Slice 62 of 155, Image size 240x240
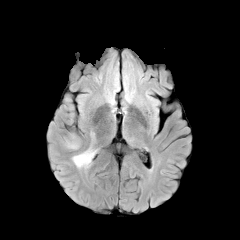
FLAIR magnetic resonance.
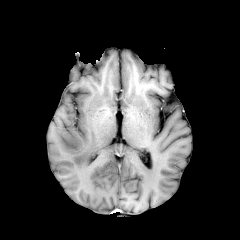
Same slice, T1-weighted MR.
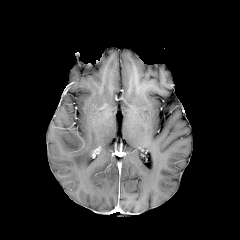
Post-contrast T1-weighted magnetic resonance.
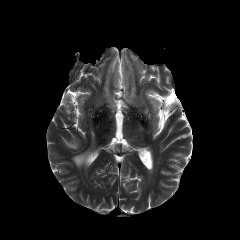
T2-weighted magnetic resonance.
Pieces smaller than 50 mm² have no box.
Findings:
• peritumoral edema: (66, 141, 78, 148), (72, 148, 94, 168)